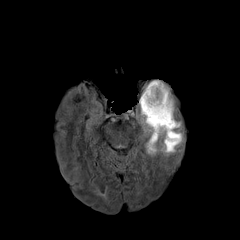
FLAIR MRI.
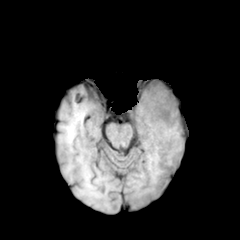
T1-weighted magnetic resonance.
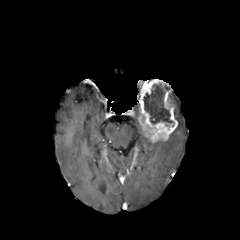
Same slice, post-contrast T1-weighted MRI.
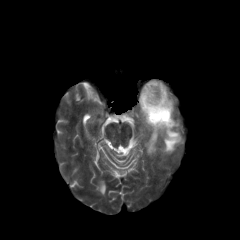
T2-weighted MRI.
Brain. Image size 240x240.
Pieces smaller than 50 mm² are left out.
The largest necrotic tumor core region is bounded by <bbox>144, 84, 173, 124</bbox>. The largest peritumoral edema region appears at <bbox>145, 122, 182, 154</bbox>. The enhancing tumor appears at <bbox>138, 79, 177, 142</bbox>.